FLAIR magnetic resonance.
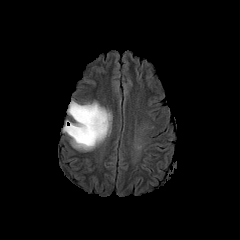
T1-weighted MR.
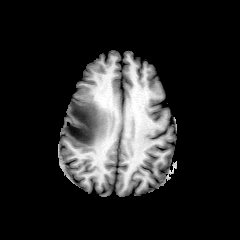
Post-contrast T1-weighted MR.
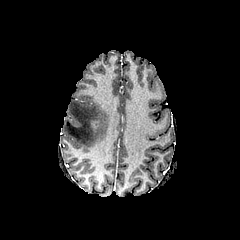
T2-weighted MRI.
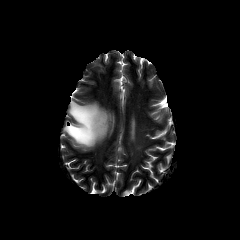
Brain
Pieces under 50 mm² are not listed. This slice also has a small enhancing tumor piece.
Findings:
* peritumoral edema: {"x1": 63, "y1": 101, "x2": 111, "y2": 150}